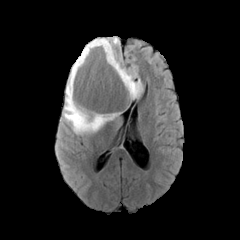
FLAIR MR image.
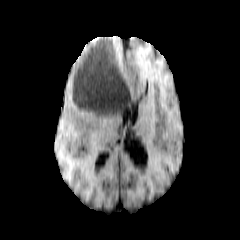
T1-weighted MR.
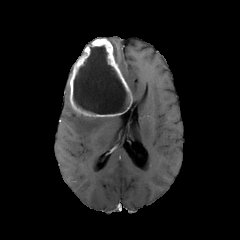
Post-contrast T1-weighted MR image.
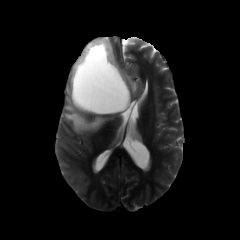
Same slice, T2-weighted MR image.
240x240 px; Brain
Segmented structures:
* necrotic tumor core: (left=73, top=46, right=127, bottom=114)
* enhancing tumor: (left=68, top=37, right=132, bottom=117)
* peritumoral edema: (left=62, top=82, right=116, bottom=133), (left=107, top=37, right=141, bottom=99)